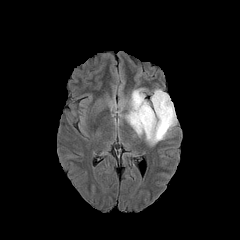
FLAIR MR image.
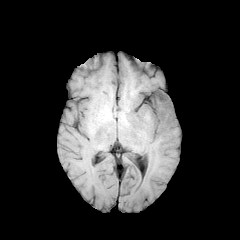
T1-weighted MR.
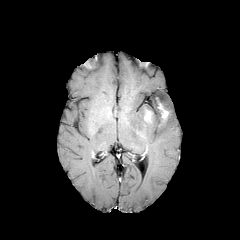
Post-contrast T1-weighted MR.
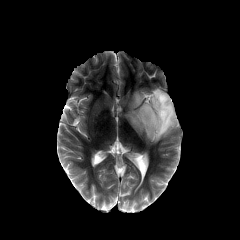
T2-weighted magnetic resonance of the same slice.
Axial plane
{"enhancing_tumor": ["x1=144, y1=108, x2=153, y2=122", "x1=156, y1=98, x2=169, y2=121"], "peritumoral_edema": ["x1=125, y1=88, x2=177, y2=144"]}